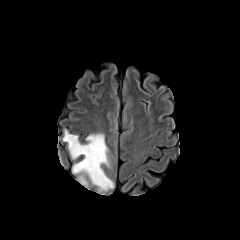
FLAIR MR image.
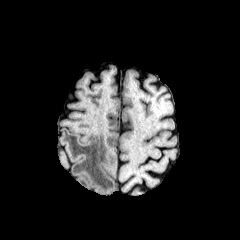
Same slice, T1-weighted MRI.
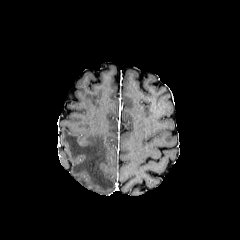
Same slice, post-contrast T1-weighted MRI.
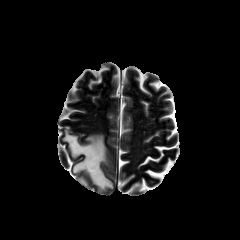
Same slice, T2-weighted MR.
Axial view.
peritumoral edema: x1=78 y1=176 x2=87 y2=186, x1=62 y1=130 x2=113 y2=191